FLAIR MR image.
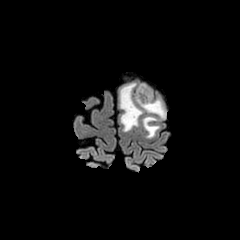
T1-weighted MR image.
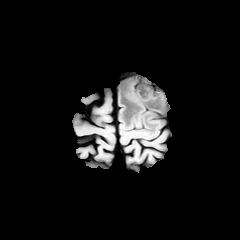
Post-contrast T1-weighted MRI.
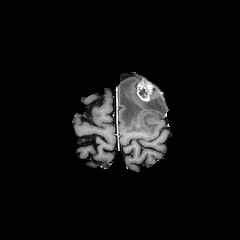
T2-weighted MR.
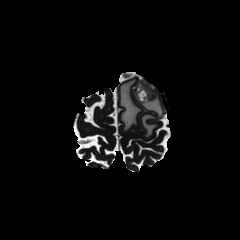
240x240. Axial view. Brain.
enhancing tumor: bounding box (137,80,152,101)
necrotic tumor core: bounding box (139,87,148,97)
peritumoral edema: bounding box (119,82,165,137)